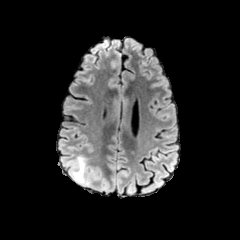
FLAIR MRI.
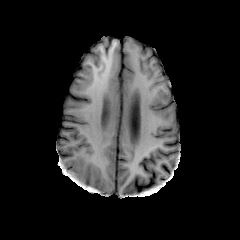
Same slice, T1-weighted magnetic resonance.
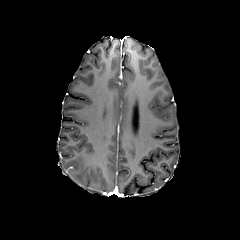
Post-contrast T1-weighted magnetic resonance.
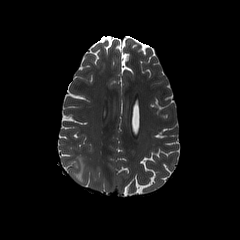
T2-weighted MR.
Brain. Axial plane.
peritumoral edema = l=69, t=155, r=94, b=185